FLAIR MRI.
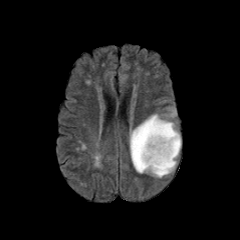
T1-weighted MR.
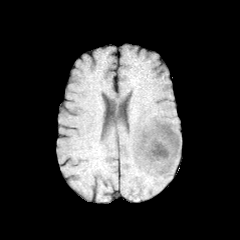
Post-contrast T1-weighted MR image.
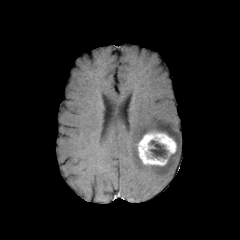
T2-weighted MR.
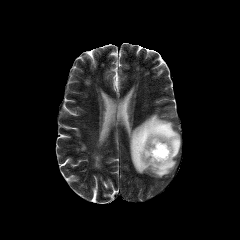
Axial plane, 240x240, Head
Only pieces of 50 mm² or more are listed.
enhancing tumor: box(136, 130, 177, 166)
necrotic tumor core: box(150, 140, 167, 158)
peritumoral edema: box(129, 114, 181, 177)